Slice 101/155
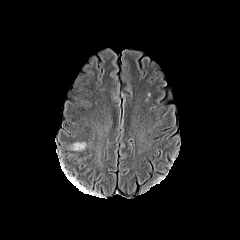
FLAIR MR image.
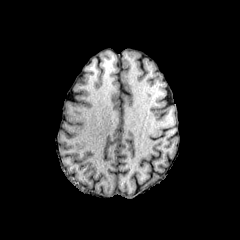
T1-weighted magnetic resonance.
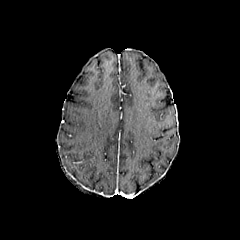
Post-contrast T1-weighted magnetic resonance of the same slice.
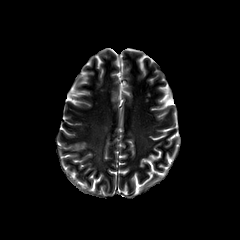
Same slice, T2-weighted MR image.
peritumoral edema = bbox(74, 143, 85, 149)